FLAIR magnetic resonance.
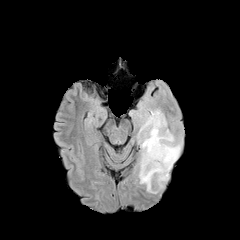
T1-weighted MR image.
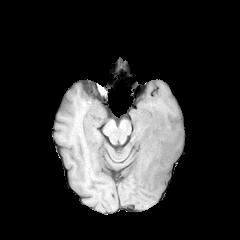
Post-contrast T1-weighted magnetic resonance.
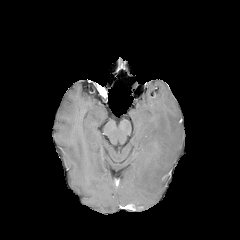
T2-weighted MRI.
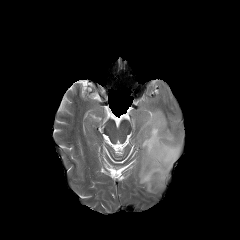
Axial slice
peritumoral edema: (x1=137, y1=109, x2=182, y2=193)